Head. Axial slice.
FLAIR MR image.
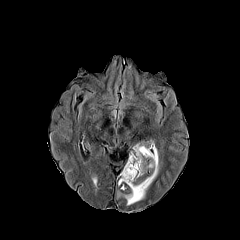
T1-weighted MRI.
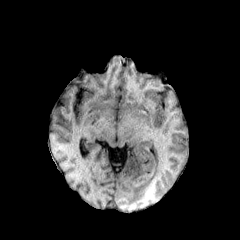
Post-contrast T1-weighted magnetic resonance.
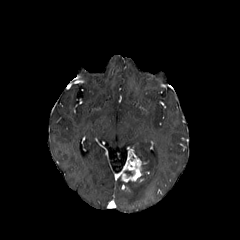
T2-weighted MRI.
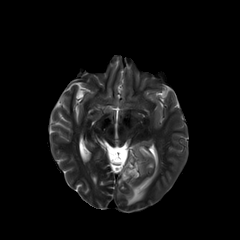
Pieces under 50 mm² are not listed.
peritumoral_edema:
  - rect(125, 145, 158, 205)
enhancing_tumor:
  - rect(119, 153, 143, 182)